FLAIR MR image.
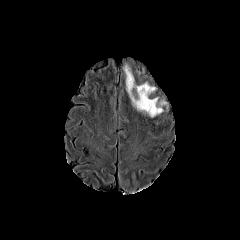
T1-weighted MR image.
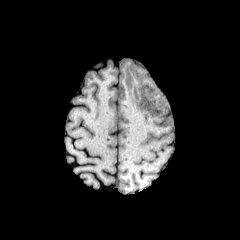
Post-contrast T1-weighted MR.
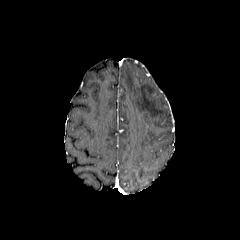
T2-weighted magnetic resonance.
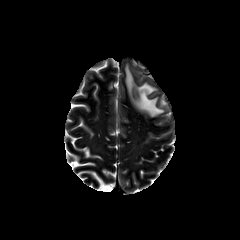
Axial plane, Head, Image size 240x240
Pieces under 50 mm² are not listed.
Segmented structures:
* peritumoral edema: l=125, t=65, r=163, b=117